Axial plane | Brain | 240x240 px
FLAIR MR.
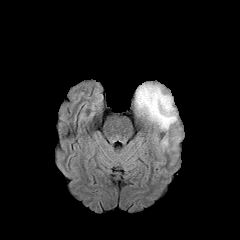
T1-weighted MR image.
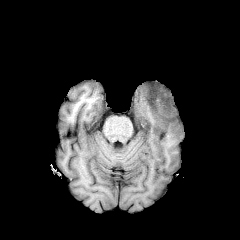
Post-contrast T1-weighted MR.
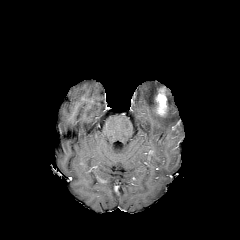
T2-weighted MR image.
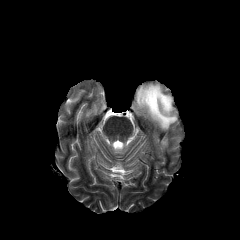
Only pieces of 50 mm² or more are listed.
enhancing tumor: box=[154, 88, 168, 116] | peritumoral edema: box=[135, 83, 177, 130]; box=[161, 138, 167, 148]